Slice 88 of 155. Head.
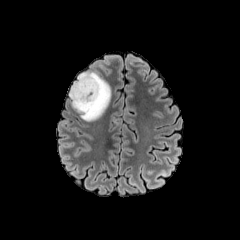
FLAIR magnetic resonance.
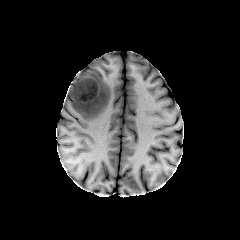
T1-weighted MR image.
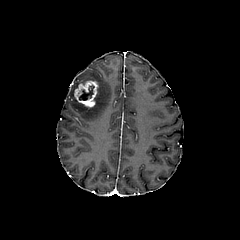
Post-contrast T1-weighted magnetic resonance of the same slice.
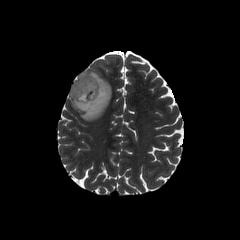
T2-weighted MRI of the same slice.
necrotic_tumor_core:
  - 79, 85, 94, 100
enhancing_tumor:
  - 74, 80, 98, 107
peritumoral_edema:
  - 69, 71, 111, 121